Axial plane. Image width 240 mm, 1.00 mm slice spacing.
FLAIR MR image.
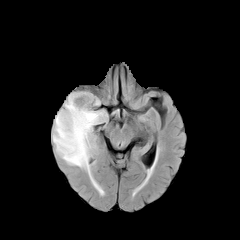
T1-weighted MRI.
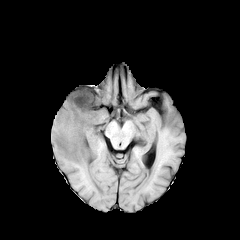
Post-contrast T1-weighted magnetic resonance.
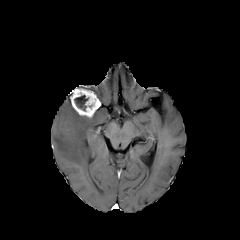
T2-weighted MR image.
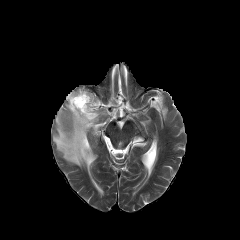
The necrotic tumor core is located at [75,95,88,110]. The enhancing tumor lies within [69,88,100,117]. The peritumoral edema lies within [52,95,107,178].